FLAIR magnetic resonance.
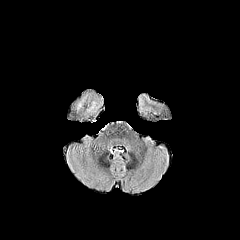
T1-weighted MRI.
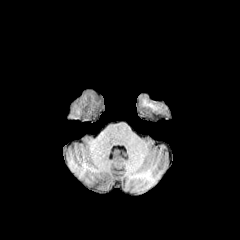
Post-contrast T1-weighted magnetic resonance.
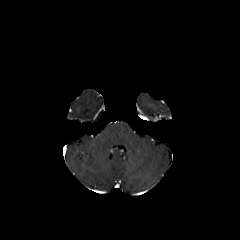
T2-weighted MR image.
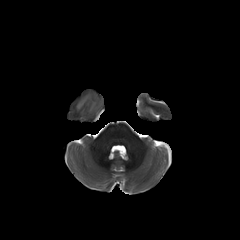
Head
<segmentation>
  <peritumoral_edema>77, 95, 87, 109; 87, 101, 98, 113</peritumoral_edema>
</segmentation>